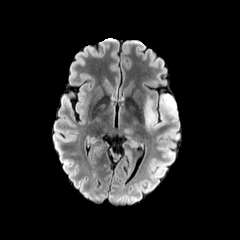
FLAIR MR.
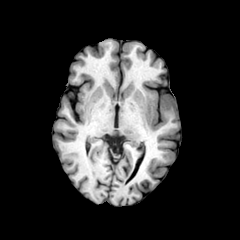
T1-weighted MR image of the same slice.
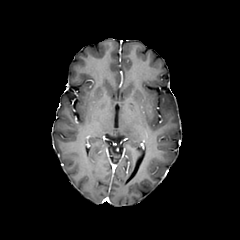
Same slice, post-contrast T1-weighted MR image.
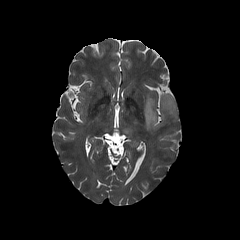
T2-weighted MRI of the same slice.
Axial slice
2 peritumoral edema regions appear at bbox=[121, 125, 135, 139]; bbox=[143, 94, 177, 131].